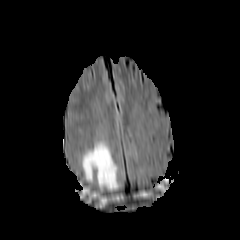
FLAIR magnetic resonance.
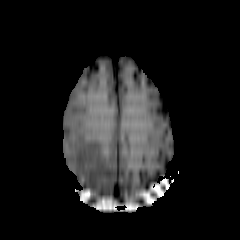
T1-weighted MRI of the same slice.
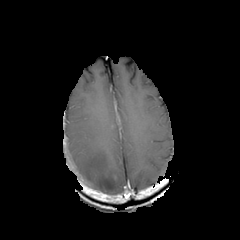
Post-contrast T1-weighted magnetic resonance.
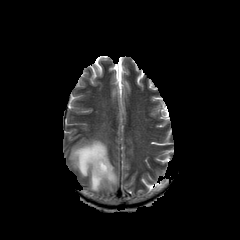
T2-weighted MRI of the same slice.
Image size 240x240
<segmentation>
  <peritumoral_edema>region(81, 140, 118, 190)</peritumoral_edema>
</segmentation>